FLAIR MRI.
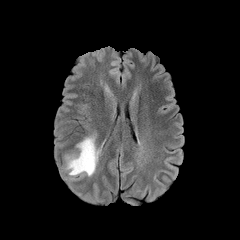
T1-weighted magnetic resonance.
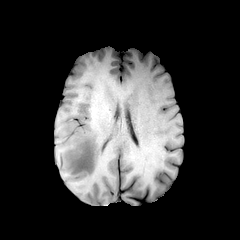
Post-contrast T1-weighted MR.
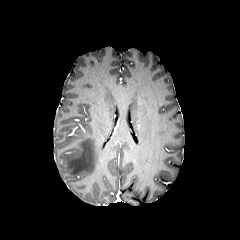
T2-weighted MR.
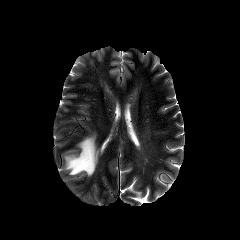
The peritumoral edema is at {"x1": 65, "y1": 136, "x2": 100, "y2": 176}.